Image width 240 mm; Head; Axial slice
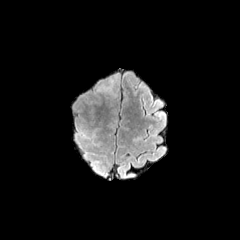
FLAIR magnetic resonance.
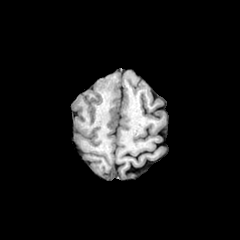
T1-weighted MR.
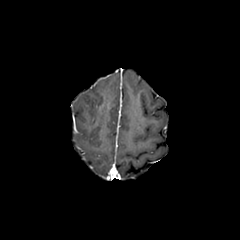
Post-contrast T1-weighted MRI of the same slice.
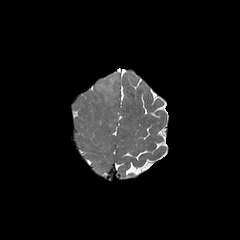
T2-weighted magnetic resonance.
Annotated regions:
- peritumoral edema: (97, 75, 118, 96)